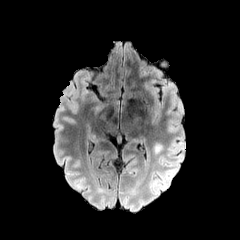
FLAIR magnetic resonance.
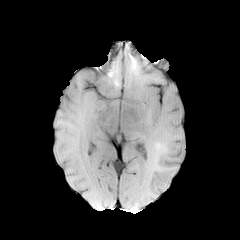
T1-weighted magnetic resonance.
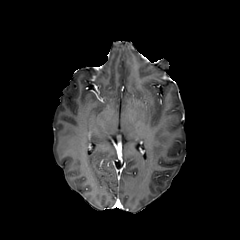
Post-contrast T1-weighted MR.
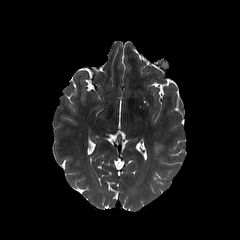
T2-weighted magnetic resonance of the same slice.
240x240 px | Head | Axial view
peritumoral edema at x1=154 y1=144 x2=162 y2=154